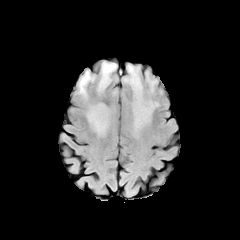
FLAIR MR.
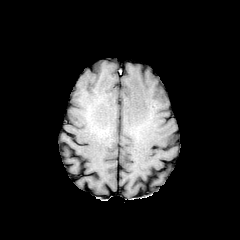
T1-weighted MRI.
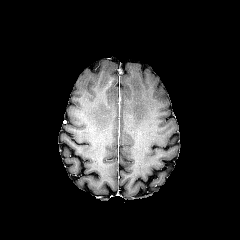
Post-contrast T1-weighted MR.
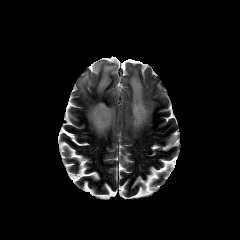
T2-weighted MR image of the same slice.
Image size 240x240 | Axial slice
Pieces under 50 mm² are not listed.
peritumoral edema — [x1=87, y1=103, x2=111, y2=133], [x1=122, y1=64, x2=156, y2=129], [x1=97, y1=61, x2=117, y2=93], [x1=78, y1=70, x2=94, y2=96]